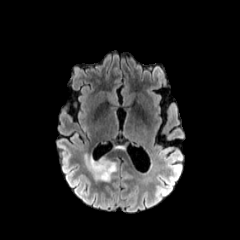
FLAIR MR.
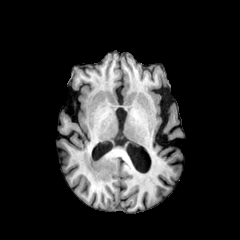
T1-weighted MRI.
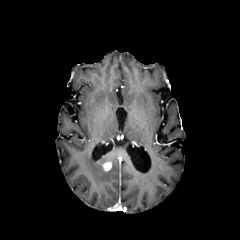
Post-contrast T1-weighted MRI.
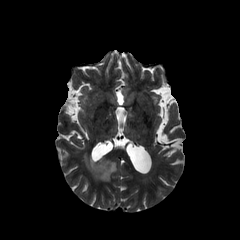
T2-weighted MR.
Axial view
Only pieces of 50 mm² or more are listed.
<segmentation>
  <enhancing_tumor>(x1=102, y1=161, x2=111, y2=171)</enhancing_tumor>
  <peritumoral_edema>(x1=84, y1=154, x2=116, y2=181)</peritumoral_edema>
</segmentation>